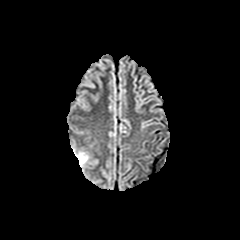
FLAIR MRI.
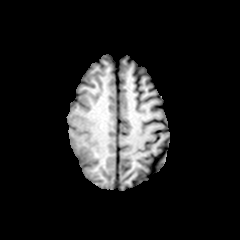
T1-weighted MR image.
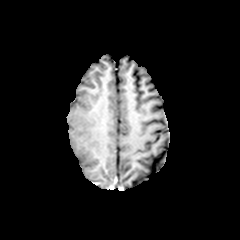
Post-contrast T1-weighted MR.
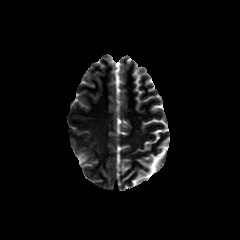
T2-weighted MR.
Axial slice | Brain
Annotated regions:
* peritumoral edema: <bbox>77, 154, 86, 164</bbox>